Head; Axial slice; 240x240
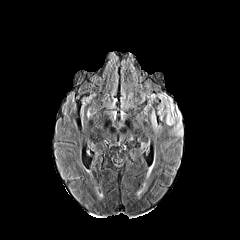
FLAIR MRI.
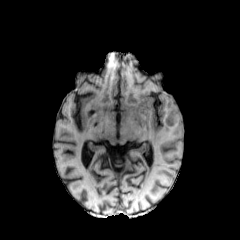
T1-weighted magnetic resonance of the same slice.
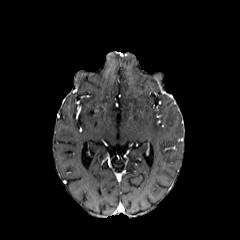
Post-contrast T1-weighted MR of the same slice.
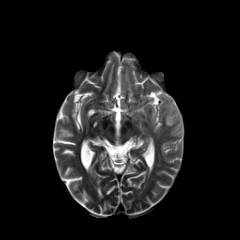
T2-weighted magnetic resonance.
2 peritumoral edema regions appear at left=151, top=112, right=155, bottom=125; left=160, top=95, right=182, bottom=136.